Axial plane
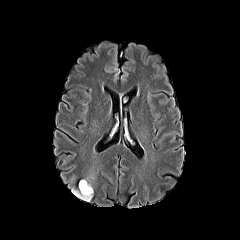
FLAIR MR image.
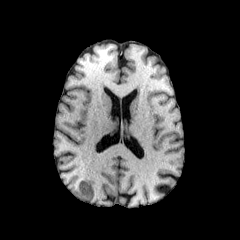
T1-weighted MR of the same slice.
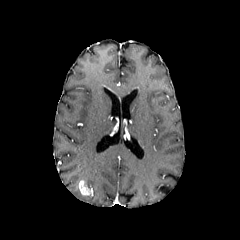
Post-contrast T1-weighted MR.
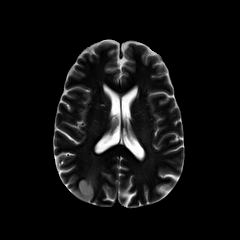
Same slice, T2-weighted MR image.
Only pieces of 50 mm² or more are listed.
<segmentation>
  <enhancing_tumor>[x1=78, y1=180, x2=92, y2=195]</enhancing_tumor>
  <peritumoral_edema>[x1=82, y1=176, x2=93, y2=188], [x1=71, y1=188, x2=92, y2=201]</peritumoral_edema>
</segmentation>